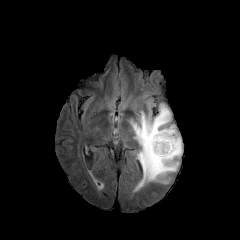
FLAIR MR image.
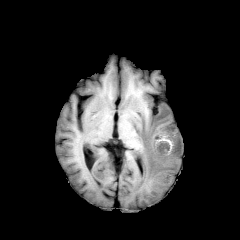
T1-weighted magnetic resonance.
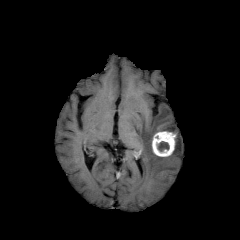
Post-contrast T1-weighted MRI.
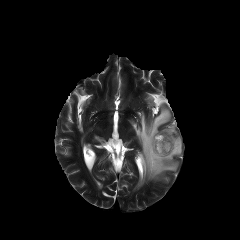
Same slice, T2-weighted MR.
Segmented structures:
- enhancing tumor: 152:131:176:156
- peritumoral edema: 131:103:182:187
- necrotic tumor core: 158:141:168:151